Head, 240x240 px, Axial slice, Image covers 240 mm x 240 mm
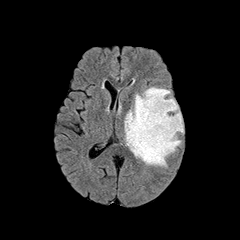
FLAIR MR image.
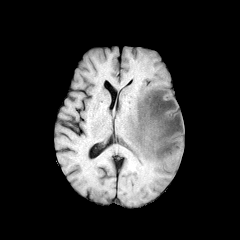
T1-weighted MR image.
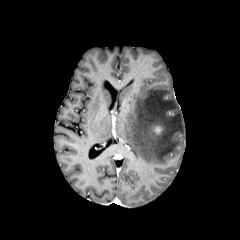
Post-contrast T1-weighted MRI.
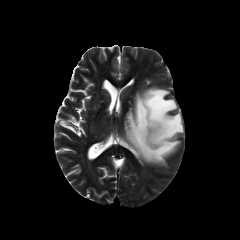
T2-weighted MR image.
The enhancing tumor appears at rect(154, 126, 162, 134). The peritumoral edema appears at rect(124, 87, 183, 166).